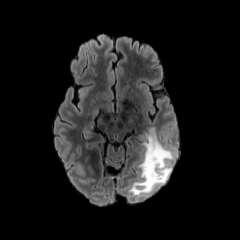
FLAIR MR image.
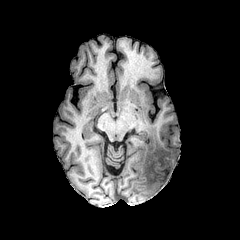
T1-weighted magnetic resonance.
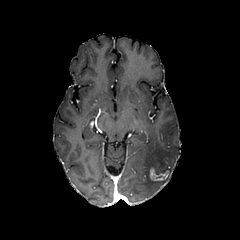
Post-contrast T1-weighted MR image of the same slice.
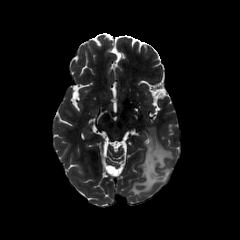
T2-weighted MRI.
The peritumoral edema lies within region(130, 127, 174, 195). The enhancing tumor is located at region(149, 167, 168, 181).